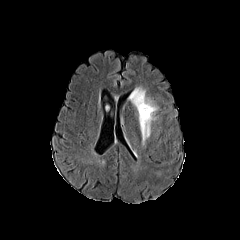
FLAIR MRI.
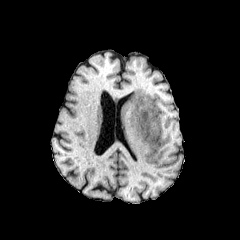
T1-weighted MR.
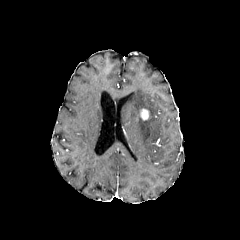
Post-contrast T1-weighted MR image.
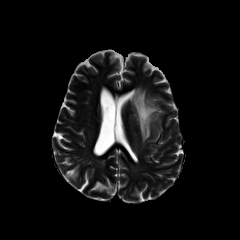
T2-weighted MR image.
Axial slice | Image size 240x240
<segmentation>
  <enhancing_tumor>[140,109,148,120]</enhancing_tumor>
  <peritumoral_edema>[129,87,157,144]</peritumoral_edema>
</segmentation>